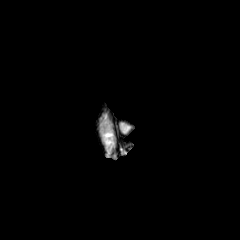
FLAIR magnetic resonance.
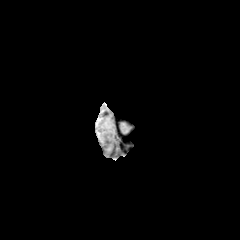
T1-weighted magnetic resonance.
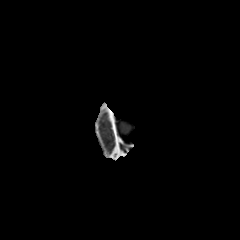
Post-contrast T1-weighted MR image.
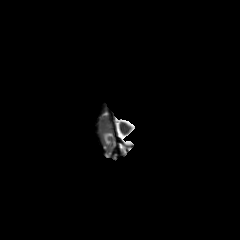
T2-weighted MR image of the same slice.
Axial view, Brain
The peritumoral edema is located at bbox(102, 132, 112, 144).